Slice 44/155. 240x240 px. Brain.
FLAIR MRI.
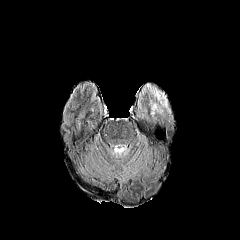
T1-weighted MR image.
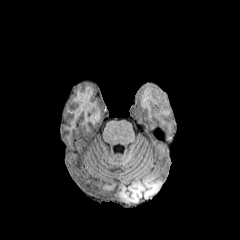
Post-contrast T1-weighted MR image.
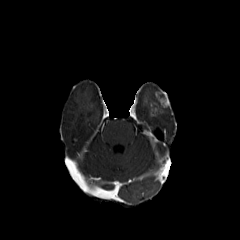
T2-weighted MRI.
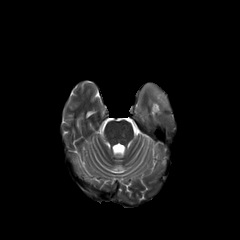
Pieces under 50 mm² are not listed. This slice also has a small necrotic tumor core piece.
{
  "enhancing_tumor": [
    "rect(155, 90, 170, 108)",
    "rect(149, 101, 162, 116)"
  ],
  "peritumoral_edema": [
    "rect(144, 84, 160, 106)"
  ]
}